Image size 240x240, Slice 102 of 155, Head
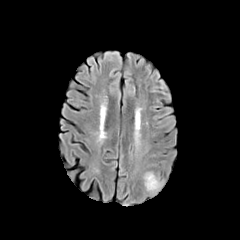
FLAIR MR.
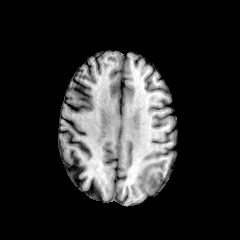
T1-weighted magnetic resonance.
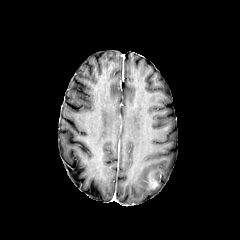
Post-contrast T1-weighted MRI.
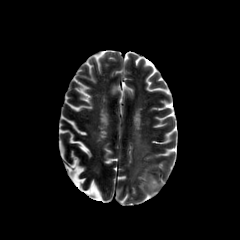
T2-weighted MR image.
enhancing tumor: (149, 176, 158, 188) | peritumoral edema: (144, 172, 164, 194)